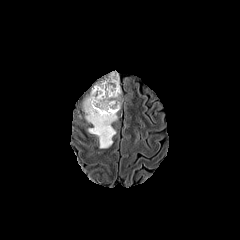
FLAIR magnetic resonance.
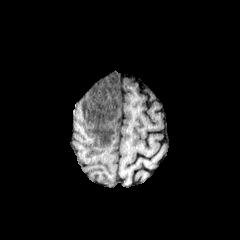
T1-weighted MRI of the same slice.
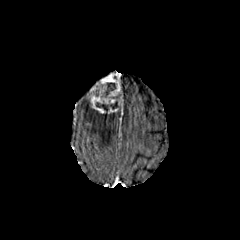
Post-contrast T1-weighted MR.
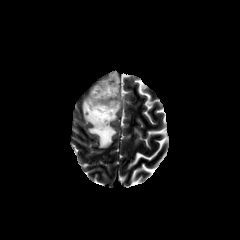
T2-weighted MRI of the same slice.
240x240, Brain
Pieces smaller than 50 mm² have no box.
<segmentation>
  <necrotic_tumor_core>(104, 83, 115, 97), (96, 101, 120, 115)</necrotic_tumor_core>
  <enhancing_tumor>(87, 72, 123, 113)</enhancing_tumor>
  <peritumoral_edema>(84, 99, 117, 148)</peritumoral_edema>
</segmentation>